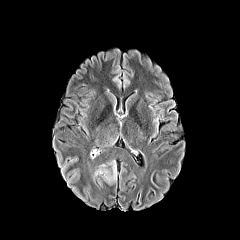
FLAIR magnetic resonance.
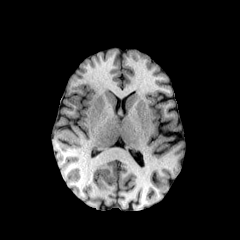
Same slice, T1-weighted MRI.
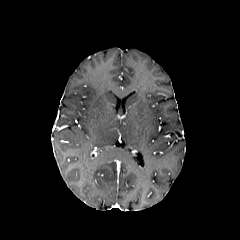
Post-contrast T1-weighted MRI.
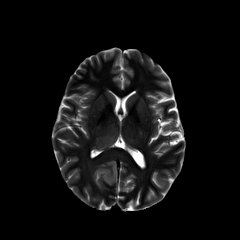
T2-weighted MR.
Brain
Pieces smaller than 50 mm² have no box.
* peritumoral edema: (96,163,116,180)